Image width 240 mm. Head.
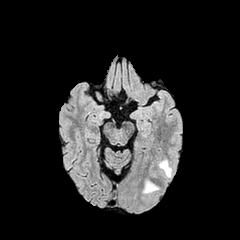
FLAIR MR.
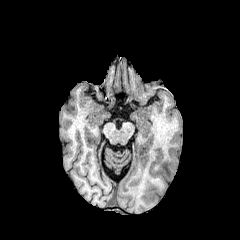
T1-weighted magnetic resonance of the same slice.
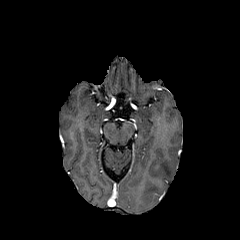
Post-contrast T1-weighted MR image.
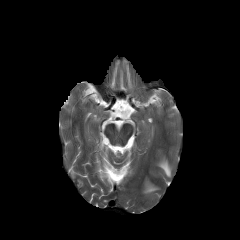
Same slice, T2-weighted MR image.
peritumoral edema: (158,159,171,177), (143,180,158,194)